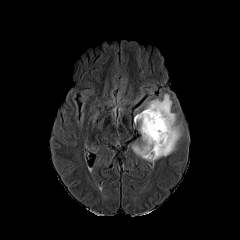
FLAIR MR.
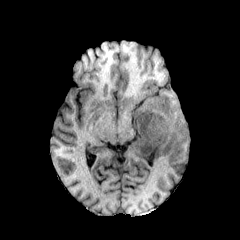
T1-weighted MR image.
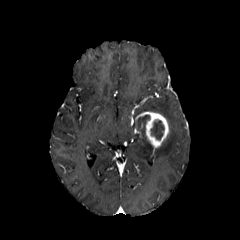
Post-contrast T1-weighted MRI.
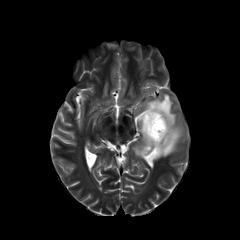
T2-weighted MR image.
240x240. Axial plane.
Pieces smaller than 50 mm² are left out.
The largest enhancing tumor region lies within region(135, 111, 169, 150). The largest peritumoral edema region is located at region(132, 88, 185, 160). The necrotic tumor core is at region(151, 120, 164, 139).